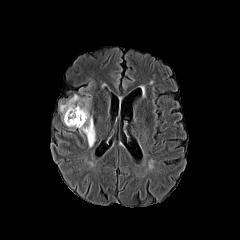
FLAIR MRI.
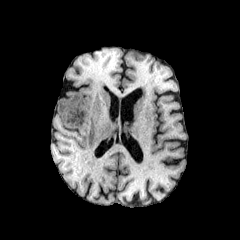
Same slice, T1-weighted MR.
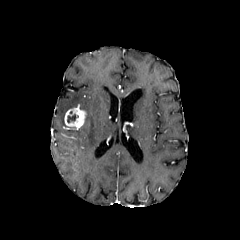
Post-contrast T1-weighted MR image.
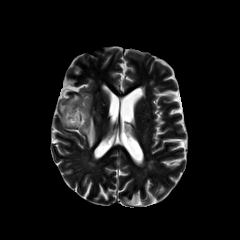
T2-weighted MR image of the same slice.
Brain. Image size 240x240.
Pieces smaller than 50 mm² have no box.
Findings:
• necrotic tumor core: 67 114 78 122
• enhancing tumor: 64 105 86 129
• peritumoral edema: 59 94 95 147